Image size 240x240; Head
FLAIR MR image.
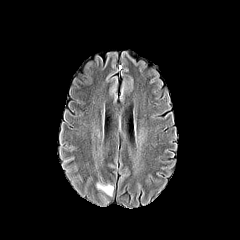
T1-weighted MR image.
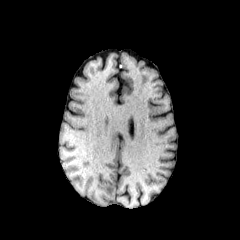
Post-contrast T1-weighted MR.
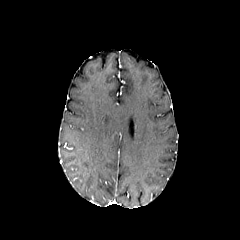
T2-weighted MRI.
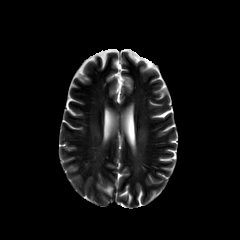
peritumoral edema: [97,183,113,196]